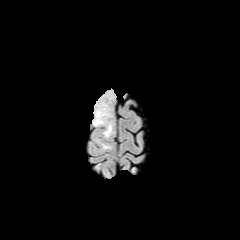
FLAIR MR image.
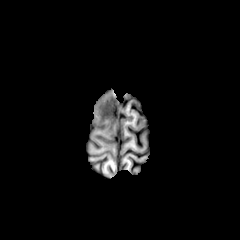
T1-weighted magnetic resonance of the same slice.
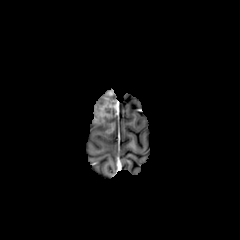
Same slice, post-contrast T1-weighted MR image.
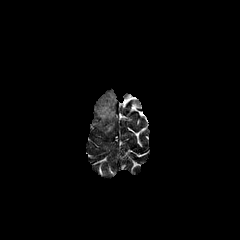
T2-weighted MR image.
Axial view
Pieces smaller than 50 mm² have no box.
{
  "peritumoral_edema": [
    "<bbox>102, 117, 114, 137</bbox>"
  ],
  "enhancing_tumor": [
    "<bbox>93, 89, 115, 125</bbox>",
    "<bbox>106, 123, 114, 133</bbox>"
  ]
}